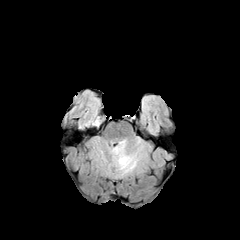
FLAIR magnetic resonance.
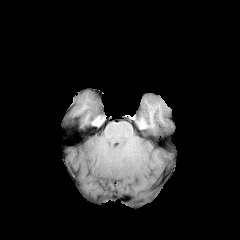
Same slice, T1-weighted MRI.
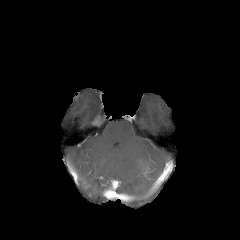
Post-contrast T1-weighted magnetic resonance of the same slice.
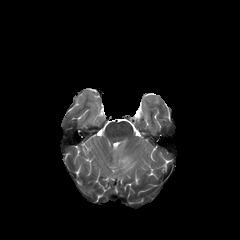
T2-weighted MR.
240x240 px; Axial view; Head
peritumoral_edema:
  - [x1=110, y1=139, x2=148, y2=177]